Slice index 25. Axial view.
FLAIR MR image.
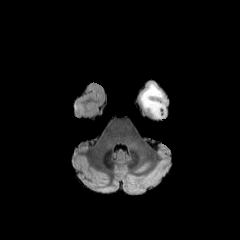
T1-weighted MR image.
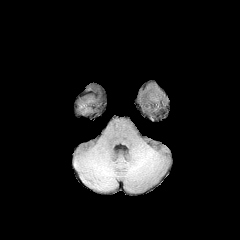
Post-contrast T1-weighted magnetic resonance.
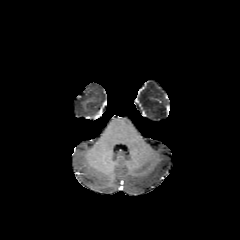
T2-weighted magnetic resonance.
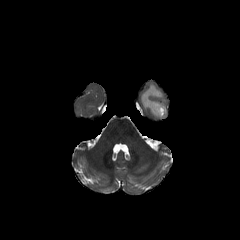
peritumoral edema — box=[140, 83, 168, 120]